Axial plane. Head. Slice 96 of 155.
FLAIR MRI.
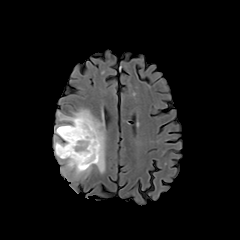
T1-weighted MR image.
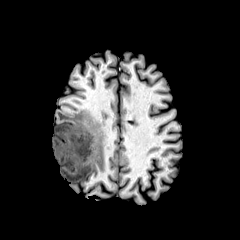
Post-contrast T1-weighted MR image.
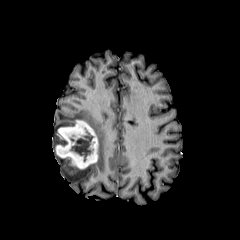
T2-weighted MRI.
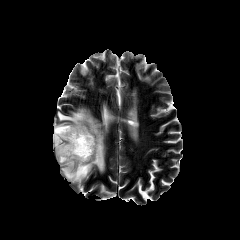
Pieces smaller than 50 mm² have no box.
Segmented structures:
- peritumoral edema: <box>54,108,105,182</box>
- enhancing tumor: <box>55,120,98,169</box>
- necrotic tumor core: <box>71,131,92,161</box>